240x240 px, Brain
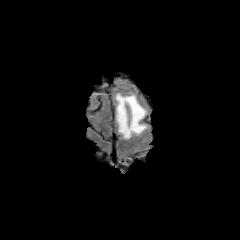
FLAIR MR image.
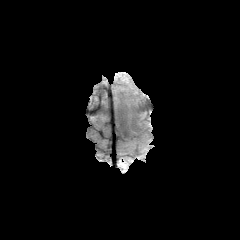
T1-weighted magnetic resonance.
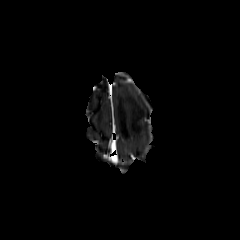
Post-contrast T1-weighted MRI of the same slice.
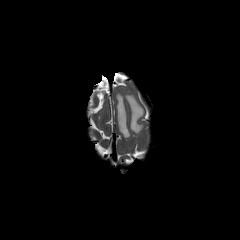
T2-weighted magnetic resonance of the same slice.
peritumoral edema: l=115, t=93, r=146, b=139